FLAIR MR image.
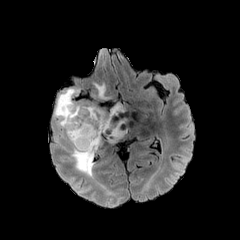
T1-weighted MRI.
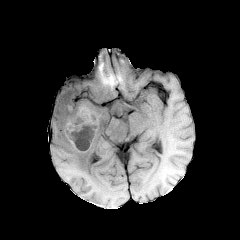
Post-contrast T1-weighted MR.
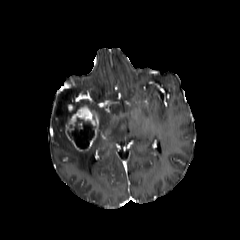
T2-weighted MR.
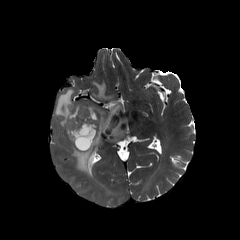
Head
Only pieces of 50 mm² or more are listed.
peritumoral edema at bbox(91, 82, 108, 98); bbox(107, 120, 127, 144); bbox(54, 87, 124, 177)
necrotic tumor core at bbox(69, 117, 95, 149)
enhancing tumor at bbox(66, 104, 98, 151)